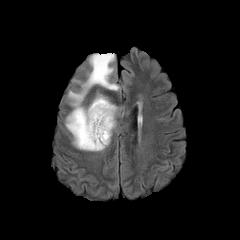
FLAIR MR image.
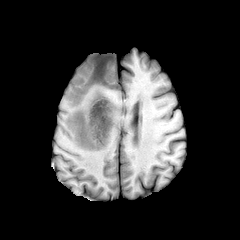
T1-weighted MR.
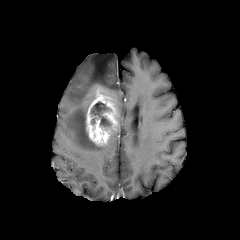
Post-contrast T1-weighted magnetic resonance.
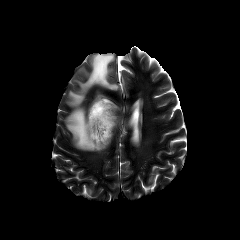
T2-weighted MR.
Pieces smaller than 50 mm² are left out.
peritumoral_edema:
  - [66,53,118,151]
enhancing_tumor:
  - [86,91,118,145]
necrotic_tumor_core:
  - [91,102,110,126]